FLAIR MRI.
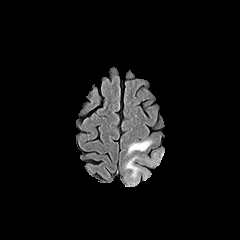
T1-weighted magnetic resonance.
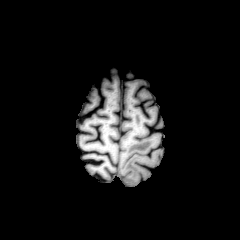
Post-contrast T1-weighted MR image.
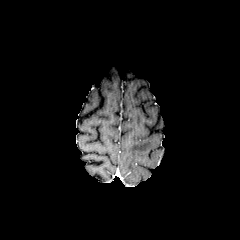
T2-weighted MR image.
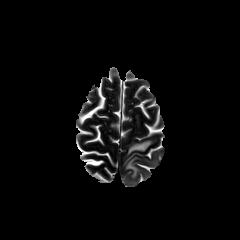
Axial view | Brain
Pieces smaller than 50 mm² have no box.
peritumoral_edema:
  - (127,140,153,154)
  - (125,156,140,184)